240x240, Axial view
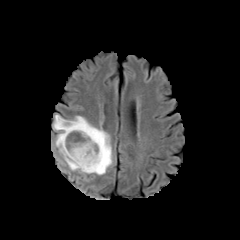
FLAIR magnetic resonance.
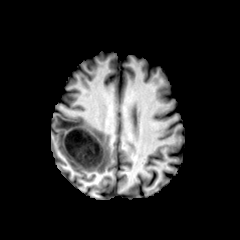
Same slice, T1-weighted MRI.
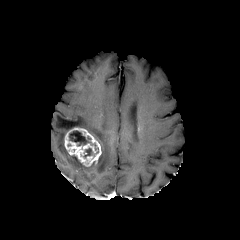
Post-contrast T1-weighted MR image of the same slice.
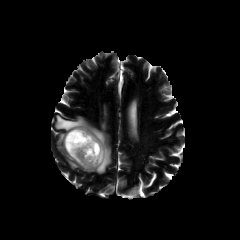
T2-weighted MR.
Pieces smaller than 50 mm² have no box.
The 2 largest necrotic tumor core regions appear at x1=84 y1=148 x2=92 y2=157, x1=69 y1=130 x2=89 y2=145. The enhancing tumor is bounded by x1=64 y1=127 x2=102 y2=166. The peritumoral edema is bounded by x1=53 y1=115 x2=112 y2=174.